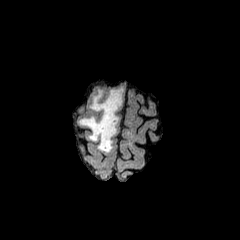
FLAIR MRI.
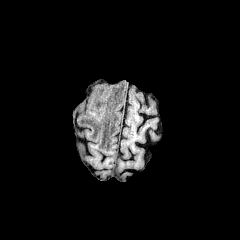
Same slice, T1-weighted MR image.
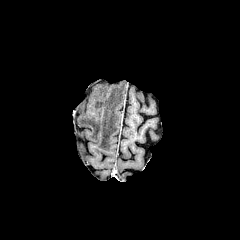
Post-contrast T1-weighted MR.
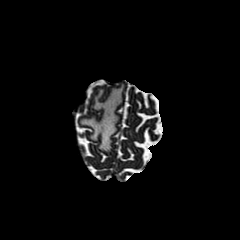
T2-weighted MR image.
Axial view
<segmentation>
  <peritumoral_edema>left=79, top=87, right=123, bottom=152</peritumoral_edema>
</segmentation>